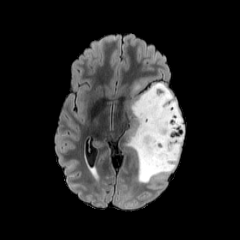
FLAIR magnetic resonance.
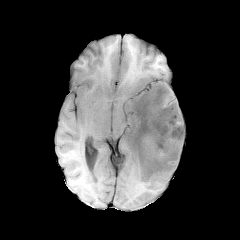
T1-weighted MR image.
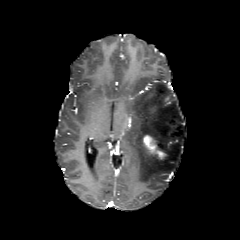
Post-contrast T1-weighted MR image.
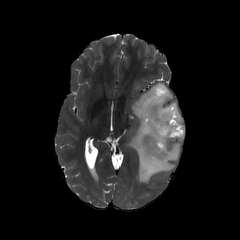
T2-weighted MR image.
240x240
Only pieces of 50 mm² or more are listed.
{"peritumoral_edema": ["(128,82,184,182)"], "enhancing_tumor": ["(143,135,166,159)"]}